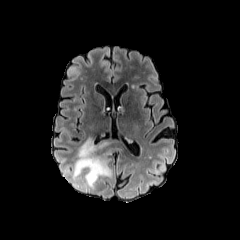
FLAIR magnetic resonance.
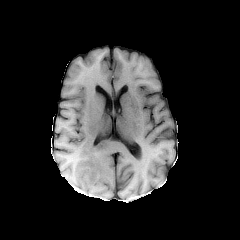
Same slice, T1-weighted MR image.
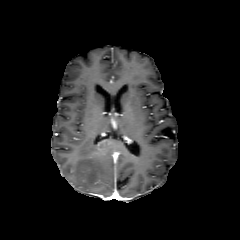
Post-contrast T1-weighted magnetic resonance of the same slice.
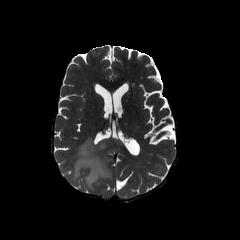
T2-weighted MRI of the same slice.
240x240 px | Brain
peritumoral edema = [73, 137, 123, 188]